240x240; Brain; Slice index 72
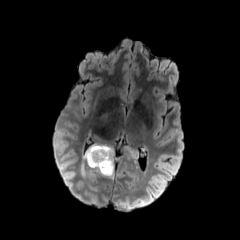
FLAIR MR image.
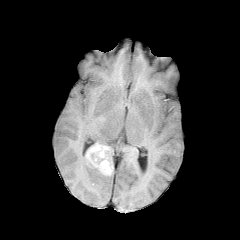
T1-weighted MR image.
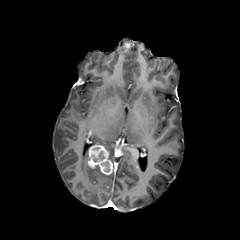
Post-contrast T1-weighted MRI.
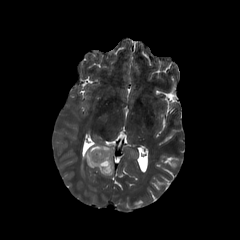
T2-weighted MR.
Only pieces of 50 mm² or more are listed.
2 peritumoral edema regions are bounded by (x1=81, y1=147, x2=113, y2=178), (x1=90, y1=142, x2=114, y2=164). 2 enhancing tumor regions appear at (x1=88, y1=145, x2=113, y2=174), (x1=125, y1=147, x2=138, y2=161). The largest necrotic tumor core region is bounded by (x1=101, y1=161, x2=109, y2=172).